Brain; 240x240 px
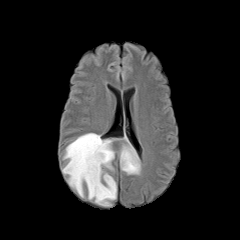
FLAIR MRI.
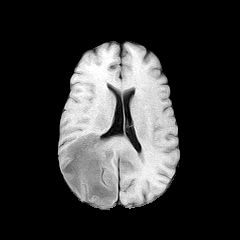
T1-weighted magnetic resonance.
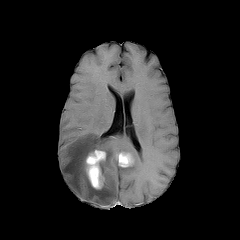
Post-contrast T1-weighted magnetic resonance.
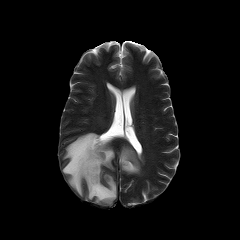
Same slice, T2-weighted MR image.
Annotated regions:
- peritumoral edema: box(62, 133, 116, 205); box(119, 137, 140, 174)
- enhancing tumor: box(85, 150, 105, 189); box(118, 152, 133, 167)